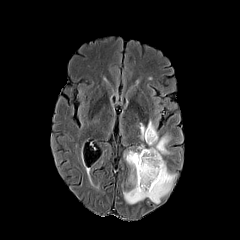
FLAIR MR.
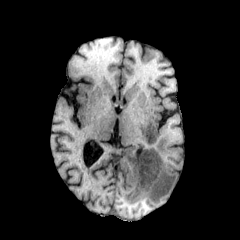
T1-weighted MRI.
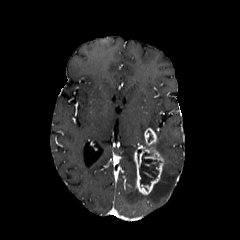
Post-contrast T1-weighted MR image.
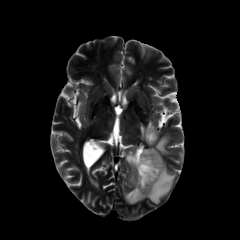
T2-weighted magnetic resonance of the same slice.
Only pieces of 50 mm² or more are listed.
<segmentation>
  <necrotic_tumor_core>l=139, t=152, r=160, b=185</necrotic_tumor_core>
  <peritumoral_edema>l=147, t=120, r=170, b=155; l=123, t=150, r=176, b=204; l=140, t=123, r=146, b=140</peritumoral_edema>
  <enhancing_tumor>l=134, t=127, r=164, b=194</enhancing_tumor>
</segmentation>